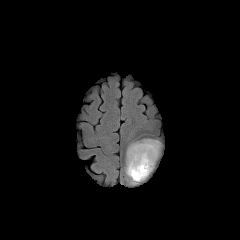
FLAIR MR.
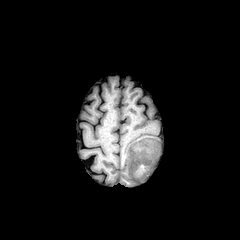
T1-weighted MRI.
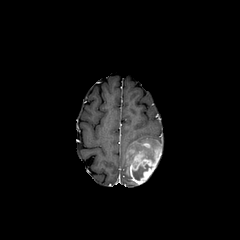
Post-contrast T1-weighted magnetic resonance.
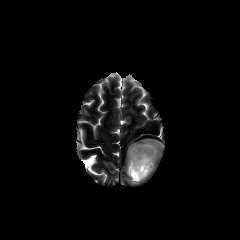
T2-weighted MRI of the same slice.
{
  "enhancing_tumor": [
    "127:142:161:184"
  ],
  "necrotic_tumor_core": [
    "146:149:154:160",
    "133:165:148:180"
  ],
  "peritumoral_edema": [
    "126:139:160:184"
  ]
}